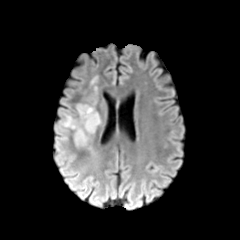
FLAIR MR image.
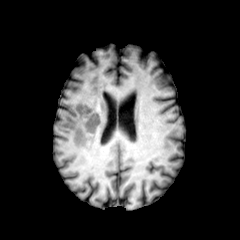
T1-weighted MRI.
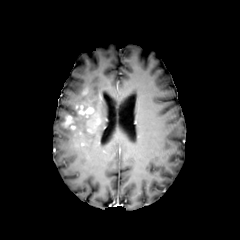
Post-contrast T1-weighted MRI of the same slice.
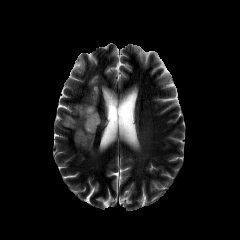
T2-weighted MR of the same slice.
Head
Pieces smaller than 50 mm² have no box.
The 2 largest enhancing tumor regions are located at (63,115,73,127), (76,105,100,132). The 2 largest peritumoral edema regions appear at (71,119,87,144), (80,115,90,132).